FLAIR MR image.
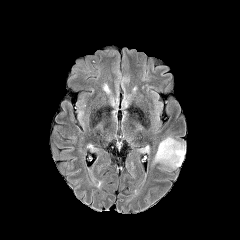
T1-weighted MRI.
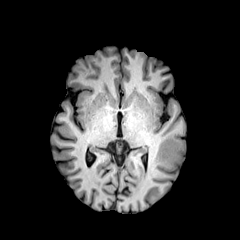
Post-contrast T1-weighted MRI.
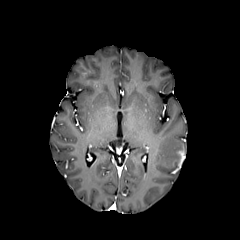
T2-weighted MR image.
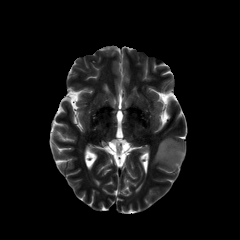
Brain.
<segmentation>
  <peritumoral_edema>x1=154, y1=137, x2=185, y2=168</peritumoral_edema>
  <enhancing_tumor>x1=177, y1=149, x2=185, y2=167</enhancing_tumor>
</segmentation>